Axial plane; Slice 105 of 155; Head
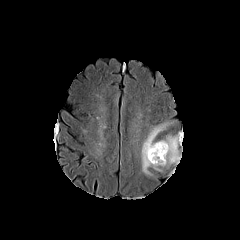
FLAIR magnetic resonance.
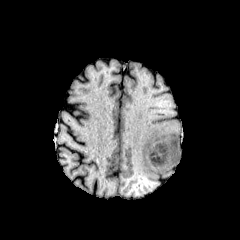
T1-weighted magnetic resonance.
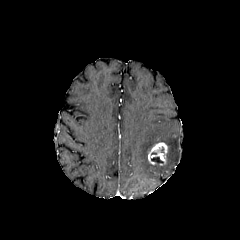
Post-contrast T1-weighted MR of the same slice.
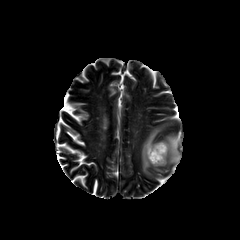
T2-weighted MR.
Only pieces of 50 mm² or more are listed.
peritumoral edema = box(141, 123, 167, 175); box(159, 132, 182, 166)
necrotic tumor core = box(151, 157, 163, 164)
enhancing tumor = box(148, 142, 167, 165)